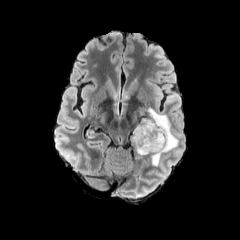
FLAIR MR.
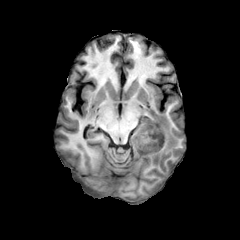
T1-weighted magnetic resonance.
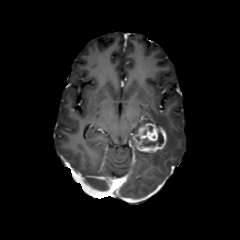
Post-contrast T1-weighted MRI.
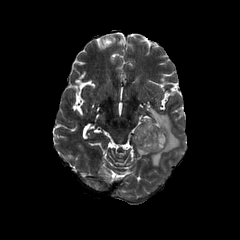
Same slice, T2-weighted MRI.
Axial slice; 240x240
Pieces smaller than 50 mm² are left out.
enhancing_tumor:
  - 133,123,166,152
peritumoral_edema:
  - 130,107,178,167
necrotic_tumor_core:
  - 142,132,163,146